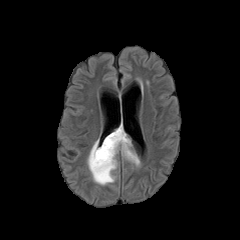
FLAIR MR.
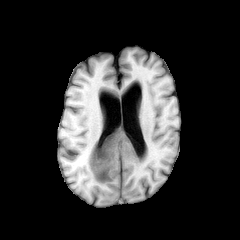
T1-weighted magnetic resonance of the same slice.
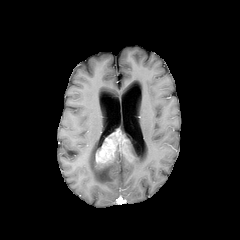
Post-contrast T1-weighted MRI.
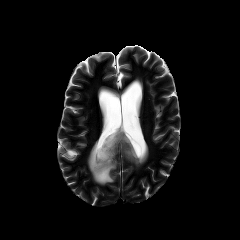
T2-weighted MRI.
Brain
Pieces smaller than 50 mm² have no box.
peritumoral edema at region(87, 139, 119, 185); region(118, 122, 140, 166)
enhancing tumor at region(95, 129, 133, 167)